FLAIR MR image.
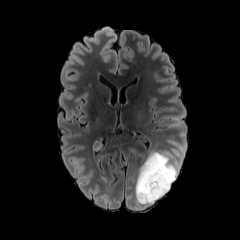
T1-weighted MR image.
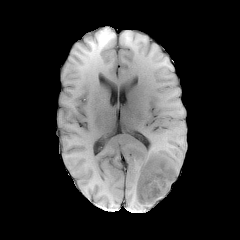
Post-contrast T1-weighted MRI.
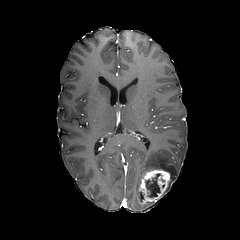
T2-weighted MR image.
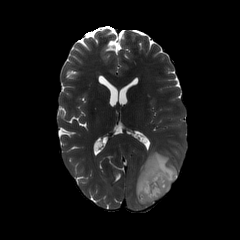
Axial slice
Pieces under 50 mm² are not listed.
{"peritumoral_edema": ["[135,151,178,207]"], "enhancing_tumor": ["[139,169,170,203]"], "necrotic_tumor_core": ["[146,174,160,197]"]}